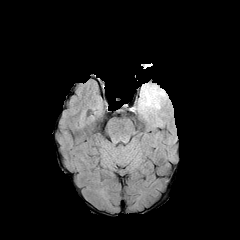
FLAIR MR.
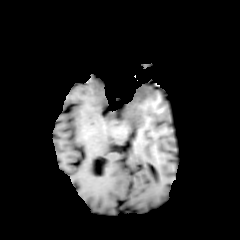
T1-weighted magnetic resonance.
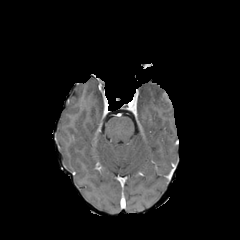
Post-contrast T1-weighted magnetic resonance of the same slice.
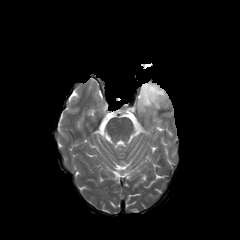
T2-weighted MR image.
Brain | Axial plane
The peritumoral edema appears at 137,82,167,119.